Axial view | Head | Slice index 113
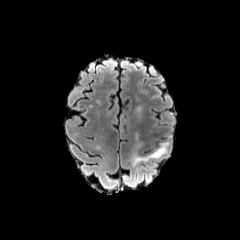
FLAIR magnetic resonance.
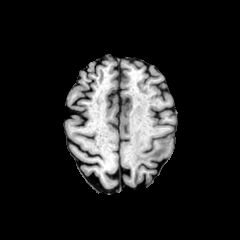
T1-weighted magnetic resonance.
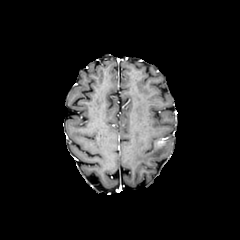
Post-contrast T1-weighted MR image.
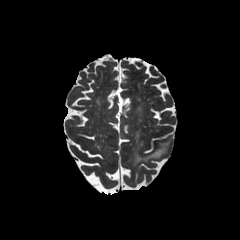
T2-weighted magnetic resonance.
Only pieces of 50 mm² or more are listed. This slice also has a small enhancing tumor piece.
The largest peritumoral edema region is at x1=127, y1=137, x2=171, y2=165.